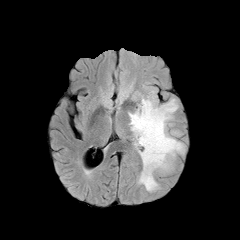
FLAIR magnetic resonance.
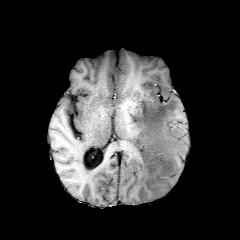
T1-weighted MR.
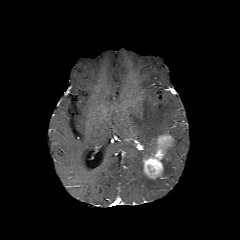
Post-contrast T1-weighted magnetic resonance of the same slice.
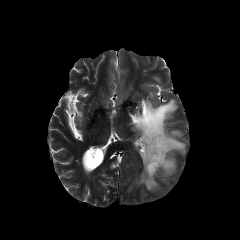
Same slice, T2-weighted MR.
Axial view
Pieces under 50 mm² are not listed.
enhancing_tumor:
  - box(143, 134, 173, 178)
peritumoral_edema:
  - box(137, 163, 158, 191)
  - box(129, 98, 185, 175)